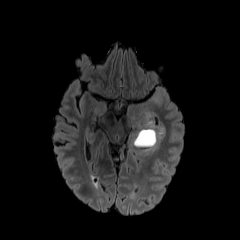
FLAIR MR image.
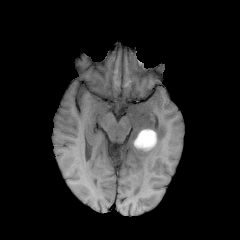
T1-weighted magnetic resonance of the same slice.
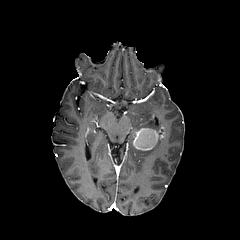
Post-contrast T1-weighted MR image.
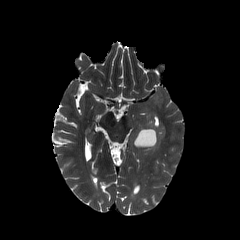
T2-weighted MRI.
Axial plane
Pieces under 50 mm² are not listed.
- peritumoral edema: <bbox>144, 138, 161, 153</bbox>, <bbox>138, 113, 157, 129</bbox>
- necrotic tumor core: <bbox>135, 130, 155, 148</bbox>
- enhancing tumor: <bbox>133, 126, 164, 150</bbox>